FLAIR MR.
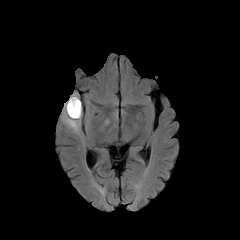
T1-weighted magnetic resonance.
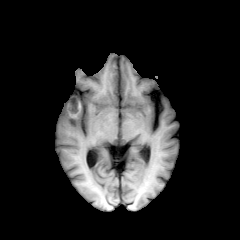
Post-contrast T1-weighted MRI.
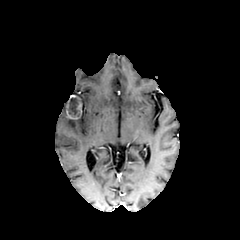
T2-weighted MR.
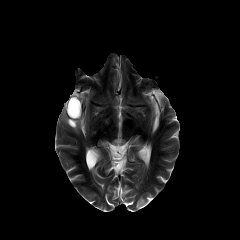
Head
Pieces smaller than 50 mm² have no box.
enhancing tumor: left=66, top=95, right=77, bottom=119 | necrotic tumor core: left=68, top=97, right=80, bottom=117 | peritumoral edema: left=61, top=101, right=81, bottom=132